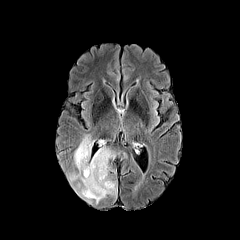
FLAIR MRI.
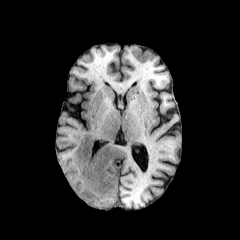
Same slice, T1-weighted MR.
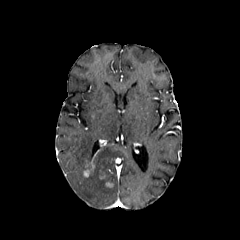
Post-contrast T1-weighted MR.
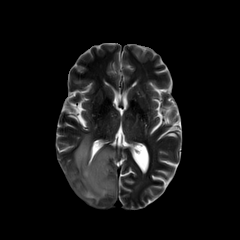
T2-weighted magnetic resonance.
Axial plane; Head
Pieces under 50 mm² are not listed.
peritumoral_edema:
  - 68:135:117:204
enhancing_tumor:
  - 83:159:94:176